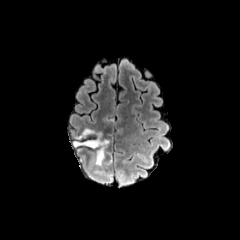
FLAIR MR image.
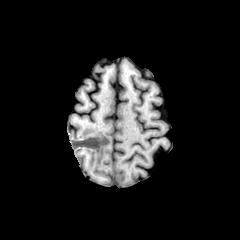
T1-weighted MRI of the same slice.
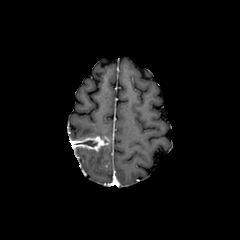
Post-contrast T1-weighted MR of the same slice.
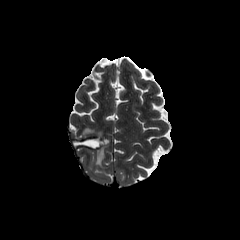
T2-weighted MR image.
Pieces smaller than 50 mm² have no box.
enhancing tumor: [x1=71, y1=136, x2=109, y2=151] | peritumoral edema: [x1=80, y1=128, x2=94, y2=137], [x1=95, y1=146, x2=106, y2=165] | necrotic tumor core: [x1=75, y1=140, x2=97, y2=146]